Image width 240 mm, 1.00 mm slice spacing | Axial view | Slice 82 of 155
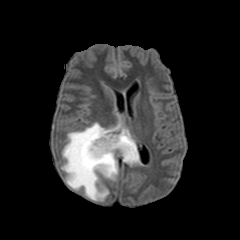
FLAIR magnetic resonance.
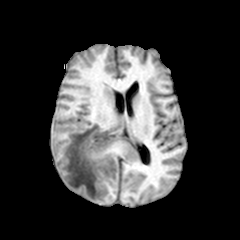
T1-weighted MR image of the same slice.
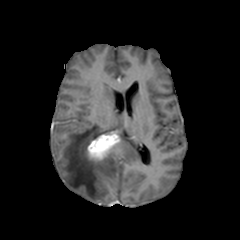
Post-contrast T1-weighted MRI.
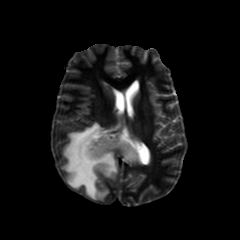
Same slice, T2-weighted MR image.
enhancing tumor: x1=87, y1=132, x2=120, y2=161
peritumoral edema: x1=61, y1=122, x2=141, y2=201